FLAIR MR image.
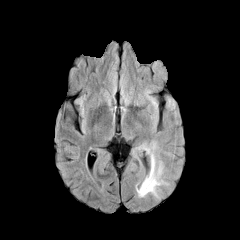
T1-weighted magnetic resonance.
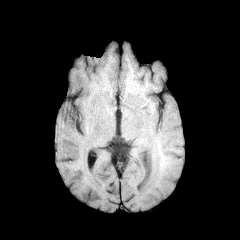
Post-contrast T1-weighted MR image.
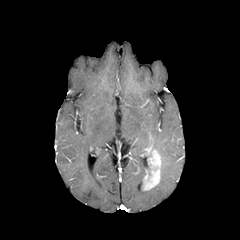
T2-weighted MR.
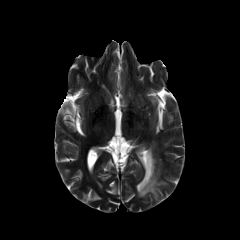
Image size 240x240
enhancing tumor at <box>142,148,160,190</box>
peritumoral edema at <box>138,142,157,157</box>, <box>136,161,167,197</box>